Brain. Image size 240x240.
FLAIR MR image.
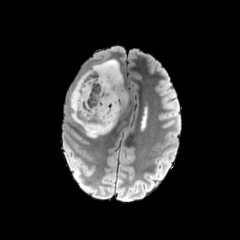
T1-weighted MR image.
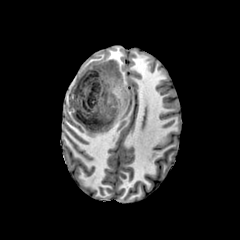
Post-contrast T1-weighted MR image.
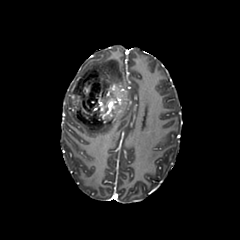
T2-weighted magnetic resonance.
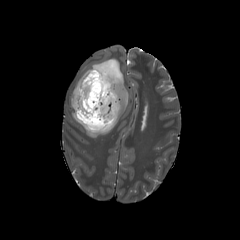
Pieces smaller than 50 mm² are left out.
The 3 largest enhancing tumor regions are located at [83,83,90,97], [71,70,98,115], [86,73,127,125]. The 2 largest peritumoral edema regions are located at [71,59,123,95], [71,111,120,137]. The necrotic tumor core is located at [76,71,106,123].